Head. 240x240 px.
FLAIR MR image.
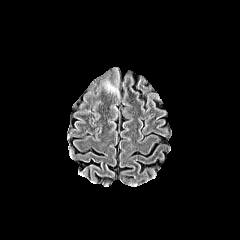
T1-weighted MR.
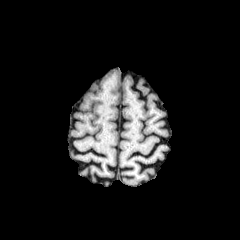
Post-contrast T1-weighted magnetic resonance.
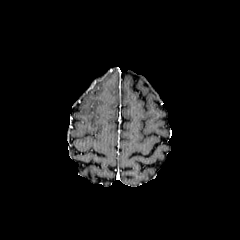
T2-weighted magnetic resonance.
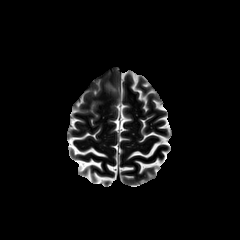
peritumoral edema at 105:83:117:92